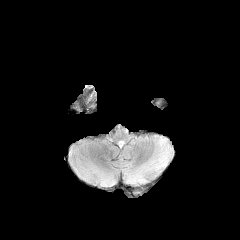
FLAIR MRI.
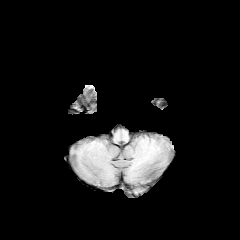
T1-weighted magnetic resonance.
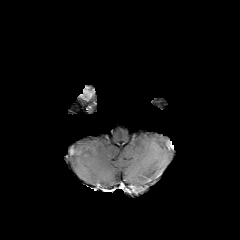
Post-contrast T1-weighted MRI of the same slice.
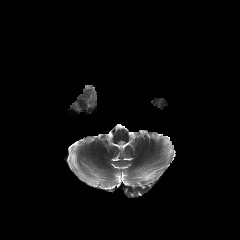
Same slice, T2-weighted magnetic resonance.
Axial slice
peritumoral edema: bounding box (152, 98, 166, 109)